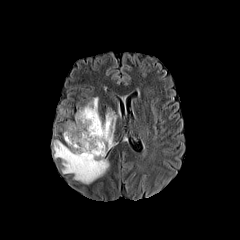
FLAIR MRI.
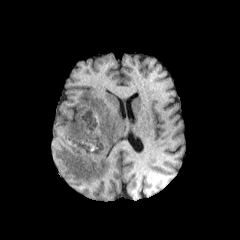
T1-weighted magnetic resonance.
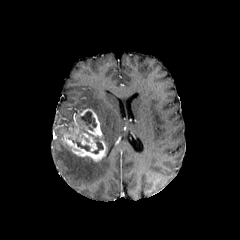
Post-contrast T1-weighted magnetic resonance.
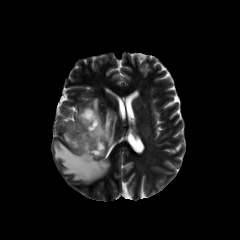
T2-weighted MRI.
Axial slice
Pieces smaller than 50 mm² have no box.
necrotic tumor core at bbox=[92, 137, 103, 153]; bbox=[68, 137, 90, 151]; bbox=[80, 111, 96, 130]
peritumoral edema at bbox=[54, 140, 109, 183]; bbox=[79, 97, 116, 149]
enhancing tumor at bbox=[64, 108, 106, 161]